Image size 240x240.
FLAIR magnetic resonance.
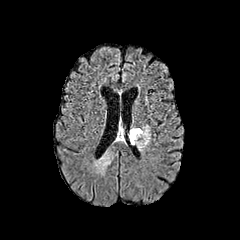
T1-weighted magnetic resonance.
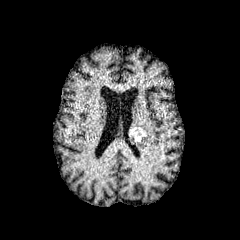
Post-contrast T1-weighted magnetic resonance.
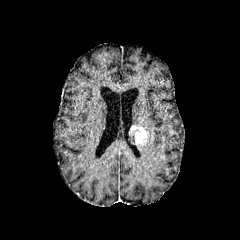
T2-weighted magnetic resonance.
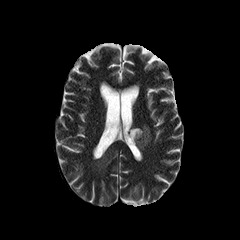
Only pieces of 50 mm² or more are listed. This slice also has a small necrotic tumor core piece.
<segmentation>
  <peritumoral_edema>[x1=96, y1=152, x2=112, y2=170], [x1=136, y1=125, x2=150, y2=150]</peritumoral_edema>
  <enhancing_tumor>[x1=129, y1=126, x2=148, y2=146]</enhancing_tumor>
</segmentation>